Axial slice | 240x240
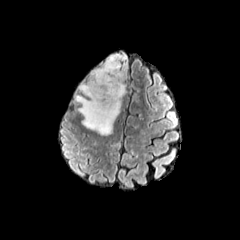
FLAIR MR.
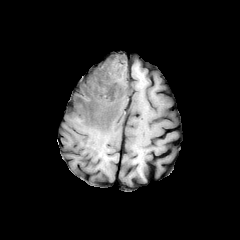
T1-weighted magnetic resonance of the same slice.
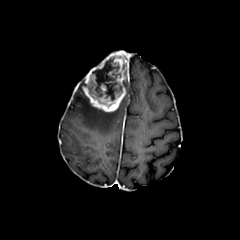
Post-contrast T1-weighted MR.
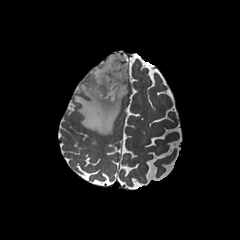
T2-weighted MRI.
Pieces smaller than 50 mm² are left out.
{"enhancing_tumor": ["[82, 51, 128, 112]"], "necrotic_tumor_core": ["[88, 57, 121, 109]"], "peritumoral_edema": ["[74, 81, 122, 134]"]}